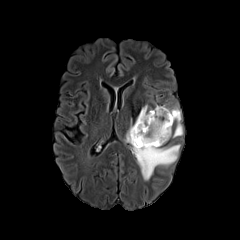
FLAIR MR.
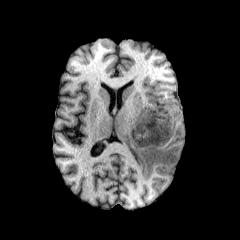
T1-weighted MR image.
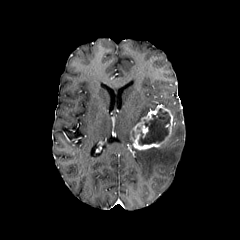
Same slice, post-contrast T1-weighted magnetic resonance.
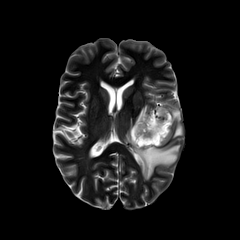
T2-weighted MRI.
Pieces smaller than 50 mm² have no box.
{"enhancing_tumor": ["left=130, top=105, right=173, bottom=150"], "peritumoral_edema": ["left=124, top=105, right=180, bottom=180", "left=167, top=106, right=182, bottom=137"], "necrotic_tumor_core": ["left=138, top=108, right=170, bottom=145"]}